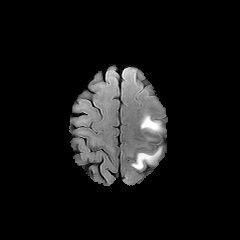
FLAIR MR.
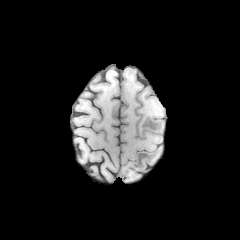
T1-weighted MRI of the same slice.
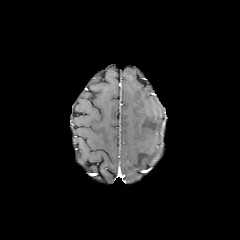
Post-contrast T1-weighted MRI of the same slice.
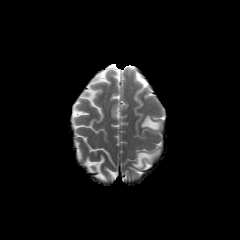
T2-weighted MRI of the same slice.
2 peritumoral edema regions are bounded by 132, 149, 160, 168; 141, 116, 160, 131.